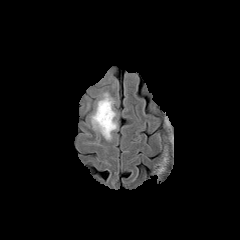
FLAIR MR image.
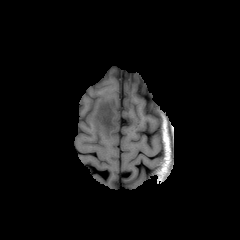
T1-weighted magnetic resonance of the same slice.
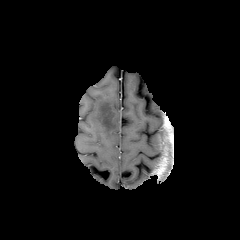
Post-contrast T1-weighted MR image of the same slice.
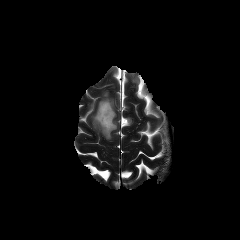
T2-weighted MR image of the same slice.
The peritumoral edema is located at [91, 92, 117, 140].